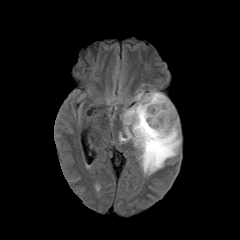
FLAIR MR image.
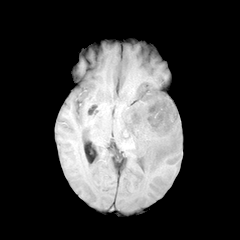
T1-weighted magnetic resonance.
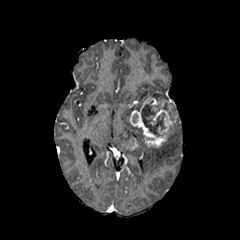
Same slice, post-contrast T1-weighted MR.
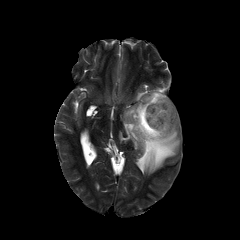
Same slice, T2-weighted magnetic resonance.
Axial view | 240x240
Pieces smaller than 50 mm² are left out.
The enhancing tumor lies within [130,96,176,147]. The peritumoral edema appears at [119,89,181,174]. The 2 largest necrotic tumor core regions are located at [141,101,165,136], [169,105,174,119].